FLAIR MR image.
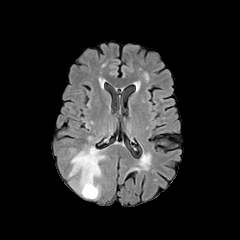
T1-weighted magnetic resonance.
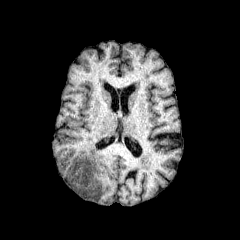
Post-contrast T1-weighted magnetic resonance.
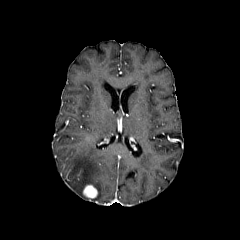
T2-weighted MR image.
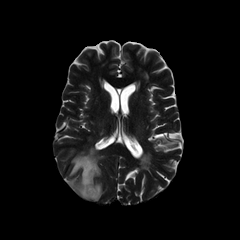
Axial plane
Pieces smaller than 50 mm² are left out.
Segmented structures:
* peritumoral edema: 68 146 105 198
* enhancing tumor: 83 185 97 198